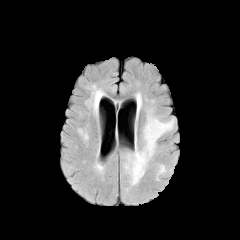
FLAIR MR image.
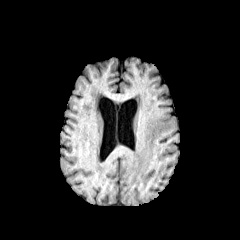
T1-weighted MR of the same slice.
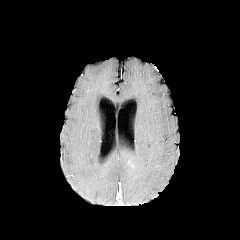
Post-contrast T1-weighted MRI of the same slice.
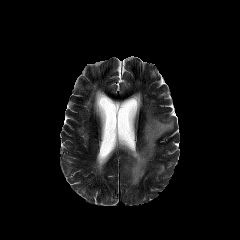
Same slice, T2-weighted magnetic resonance.
Image size 240x240
peritumoral edema: bounding box [x1=137, y1=93, x2=141, y2=112], [x1=157, y1=165, x2=165, y2=179], [x1=124, y1=110, x2=174, y2=185]